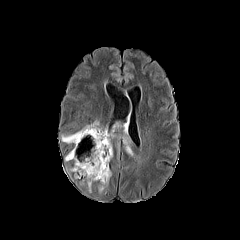
FLAIR magnetic resonance.
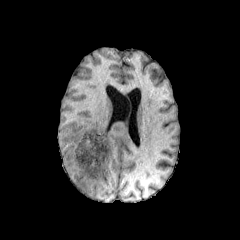
T1-weighted MR of the same slice.
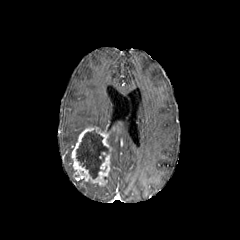
Same slice, post-contrast T1-weighted MR.
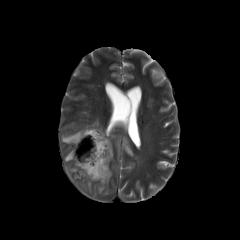
T2-weighted MR of the same slice.
Axial slice | Brain
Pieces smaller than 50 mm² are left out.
necrotic tumor core: bounding box region(76, 130, 108, 178)
enhancing tumor: bounding box region(71, 126, 112, 185)
peritumoral edema: bounding box region(98, 170, 111, 193); region(123, 137, 133, 156); region(61, 120, 99, 143)